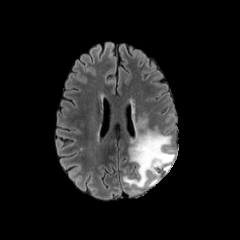
FLAIR MR.
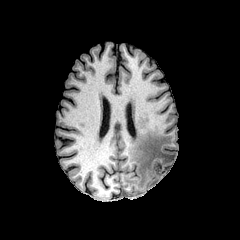
T1-weighted MR of the same slice.
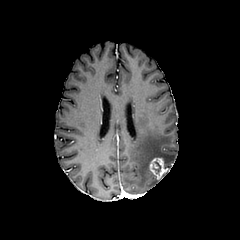
Same slice, post-contrast T1-weighted MRI.
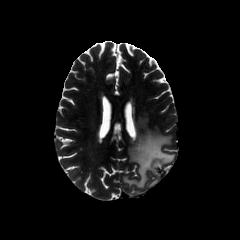
Same slice, T2-weighted MRI.
Image size 240x240; Axial view; Brain
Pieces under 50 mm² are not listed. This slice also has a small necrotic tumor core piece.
<segmentation>
  <enhancing_tumor>rect(149, 157, 169, 179)</enhancing_tumor>
  <peritumoral_edema>rect(123, 118, 175, 188)</peritumoral_edema>
</segmentation>